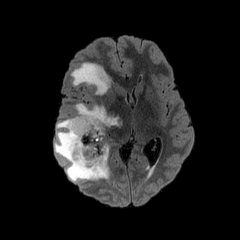
FLAIR magnetic resonance.
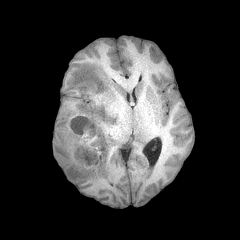
T1-weighted MR image of the same slice.
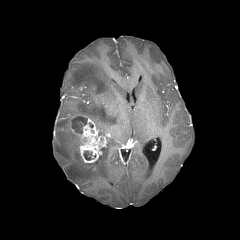
Same slice, post-contrast T1-weighted magnetic resonance.
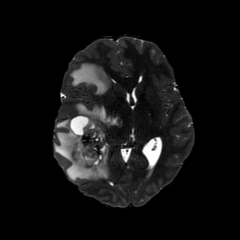
T2-weighted MR image.
Head; 240x240 px
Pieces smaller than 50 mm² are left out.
peritumoral edema = bbox(54, 103, 121, 181); bbox(70, 62, 110, 94)
enhancing tumor = bbox(70, 115, 106, 163)
necrotic tumor core = bbox(83, 151, 91, 160); bbox(72, 117, 87, 133)